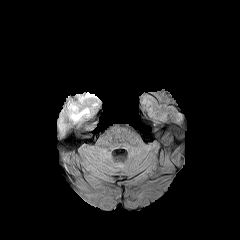
FLAIR magnetic resonance.
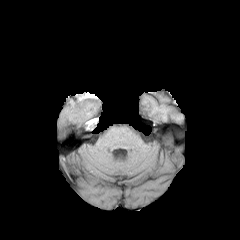
T1-weighted MRI.
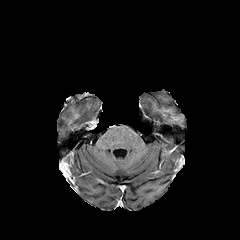
Post-contrast T1-weighted MR.
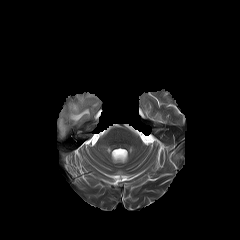
T2-weighted MR image of the same slice.
Axial slice; 240x240
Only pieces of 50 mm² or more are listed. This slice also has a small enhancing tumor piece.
The 2 largest peritumoral edema regions are bounded by <box>59,116,65,130</box>, <box>66,98,97,122</box>.